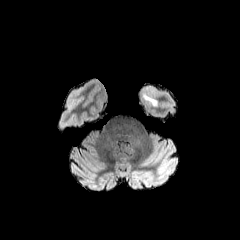
FLAIR MR.
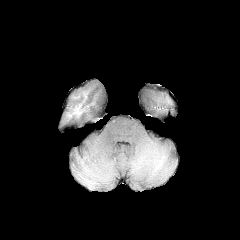
T1-weighted MRI.
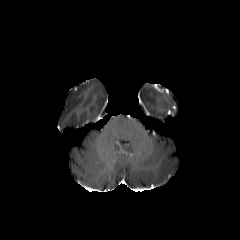
Post-contrast T1-weighted MRI.
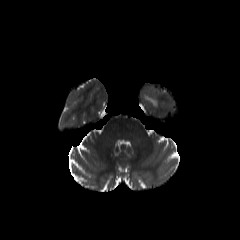
T2-weighted MRI.
Head.
Findings:
* peritumoral edema: bbox=[143, 92, 157, 106]